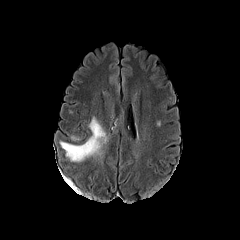
FLAIR MR.
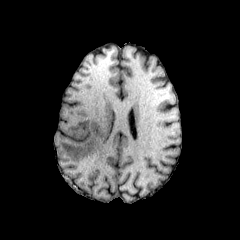
Same slice, T1-weighted MR image.
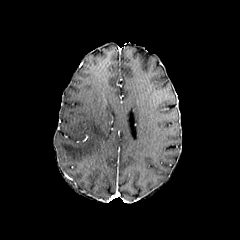
Post-contrast T1-weighted magnetic resonance of the same slice.
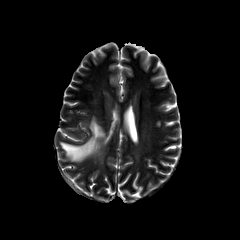
T2-weighted MRI of the same slice.
Axial view
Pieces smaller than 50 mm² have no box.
peritumoral_edema:
  - box=[60, 117, 108, 162]